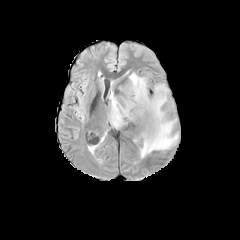
FLAIR MRI.
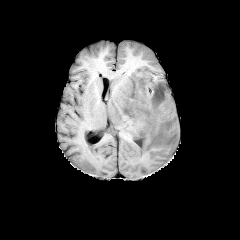
T1-weighted MR image.
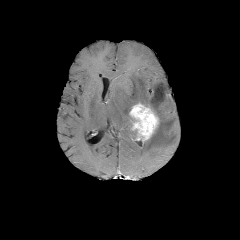
Post-contrast T1-weighted MR image.
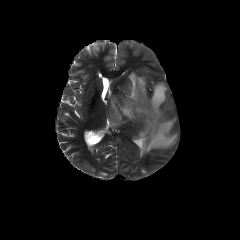
T2-weighted MR image.
Head
{"peritumoral_edema": ["[109,73,178,157]"], "enhancing_tumor": ["[129,103,158,141]"]}